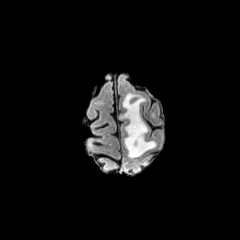
FLAIR MR image.
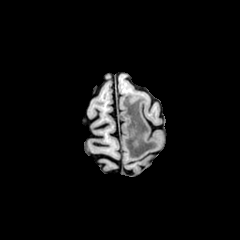
T1-weighted magnetic resonance.
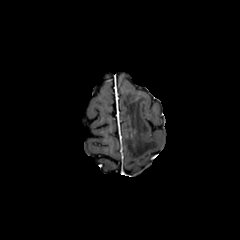
Post-contrast T1-weighted MRI.
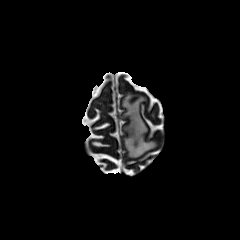
T2-weighted MR.
Brain
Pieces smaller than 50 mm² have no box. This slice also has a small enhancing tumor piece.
{
  "peritumoral_edema": [
    "l=121, t=92, r=156, b=158"
  ]
}